Axial plane | Image width 240 mm | Brain
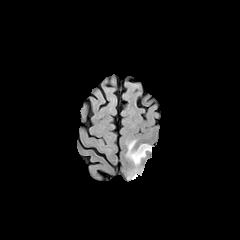
FLAIR magnetic resonance.
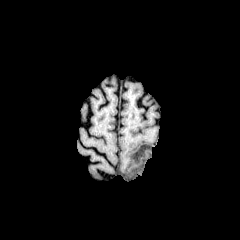
T1-weighted MR image.
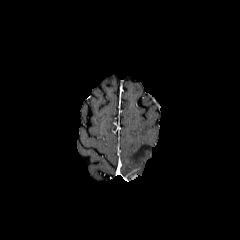
Post-contrast T1-weighted MR.
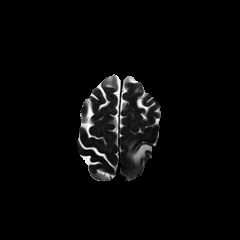
T2-weighted magnetic resonance of the same slice.
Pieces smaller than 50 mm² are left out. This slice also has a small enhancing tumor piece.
peritumoral edema — {"x1": 127, "y1": 140, "x2": 151, "y2": 166}